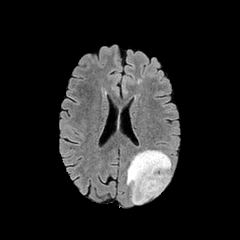
FLAIR magnetic resonance.
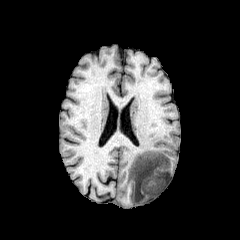
T1-weighted MR image.
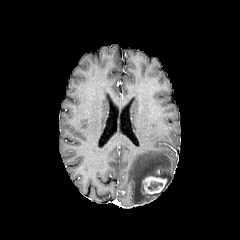
Same slice, post-contrast T1-weighted MR image.
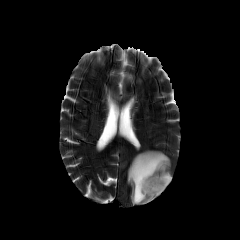
T2-weighted magnetic resonance.
Axial view; 240x240 px; Brain
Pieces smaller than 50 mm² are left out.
<segmentation>
  <enhancing_tumor>left=140, top=176, right=166, bottom=194</enhancing_tumor>
  <peritumoral_edema>left=127, top=150, right=170, bottom=204</peritumoral_edema>
  <necrotic_tumor_core>left=148, top=182, right=162, bottom=190</necrotic_tumor_core>
</segmentation>